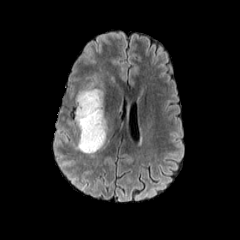
FLAIR MR.
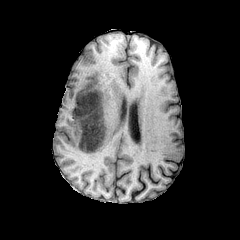
T1-weighted MR image.
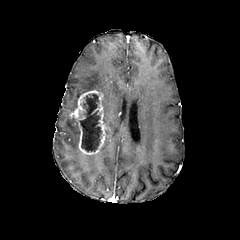
Same slice, post-contrast T1-weighted MR image.
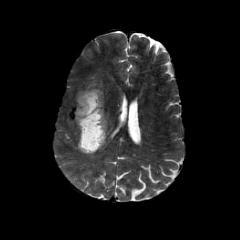
T2-weighted MRI of the same slice.
Axial view; 240x240
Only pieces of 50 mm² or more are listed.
Annotated regions:
- necrotic tumor core: (left=80, top=93, right=101, bottom=151)
- enhancing tumor: (left=74, top=89, right=106, bottom=154)
- peritumoral edema: (left=76, top=83, right=103, bottom=102), (left=104, top=110, right=112, bottom=139)